FLAIR MRI.
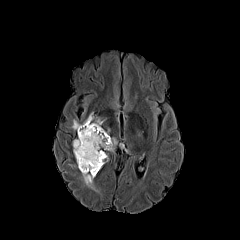
T1-weighted MR image.
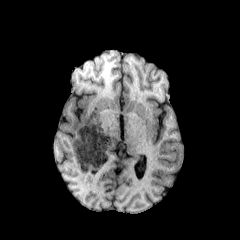
Post-contrast T1-weighted MR image.
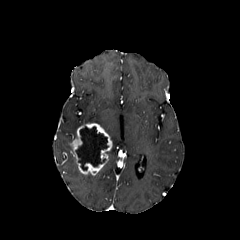
T2-weighted MR.
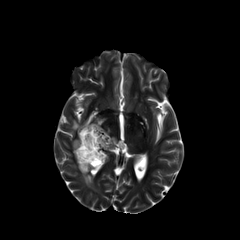
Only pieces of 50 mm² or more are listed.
<segmentation>
  <necrotic_tumor_core>bbox(76, 126, 108, 170)</necrotic_tumor_core>
  <enhancing_tumor>bbox(70, 123, 112, 175)</enhancing_tumor>
  <peritumoral_edema>bbox(82, 173, 97, 191); bbox(82, 113, 94, 124); bbox(111, 137, 117, 150); bbox(70, 119, 81, 130); bbox(94, 118, 104, 126)</peritumoral_edema>
</segmentation>